FLAIR MR image.
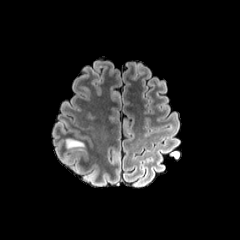
T1-weighted MRI.
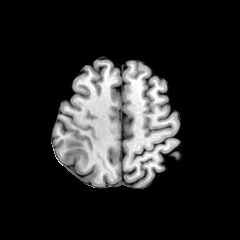
Post-contrast T1-weighted MR.
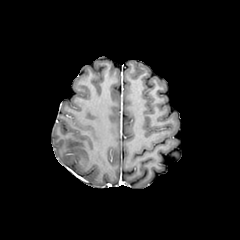
T2-weighted MR image.
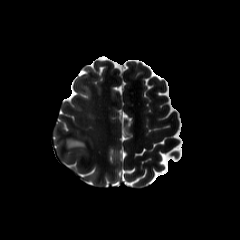
Axial plane, Head
peritumoral edema: 66 138 84 148